Axial view. Image size 240x240. Brain.
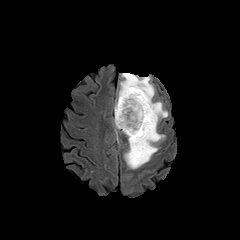
FLAIR MR image.
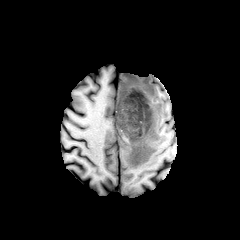
T1-weighted MR.
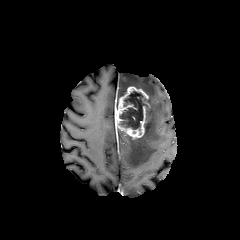
Post-contrast T1-weighted magnetic resonance.
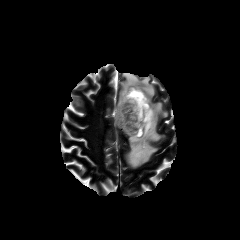
T2-weighted MRI.
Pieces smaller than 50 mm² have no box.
{
  "peritumoral_edema": [
    "(118, 73, 168, 169)"
  ],
  "enhancing_tumor": [
    "(114, 86, 150, 139)"
  ],
  "necrotic_tumor_core": [
    "(119, 91, 143, 129)"
  ]
}